240x240 px | Slice 92 of 155 | Head
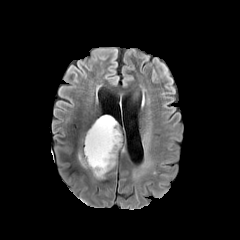
FLAIR MR.
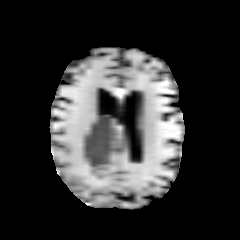
Same slice, T1-weighted MR image.
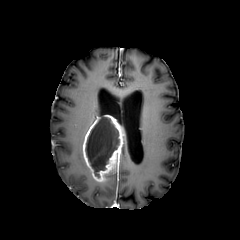
Post-contrast T1-weighted magnetic resonance.
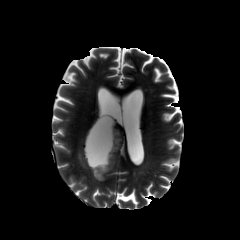
Same slice, T2-weighted MR.
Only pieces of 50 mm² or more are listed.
necrotic tumor core: rect(85, 117, 119, 177)
enhancing tumor: rect(83, 115, 125, 181)
peritumoral edema: rect(78, 153, 86, 167)